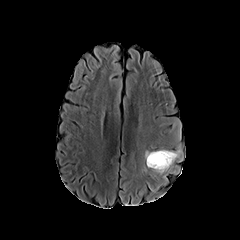
FLAIR MR image.
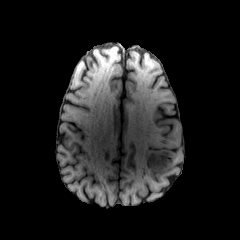
T1-weighted MR of the same slice.
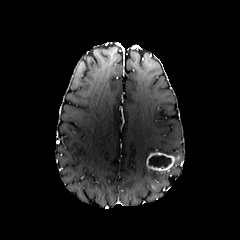
Post-contrast T1-weighted magnetic resonance.
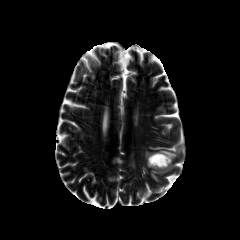
T2-weighted MR.
Brain.
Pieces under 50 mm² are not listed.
The 2 largest peritumoral edema regions appear at left=169, top=117, right=181, bottom=141; left=144, top=143, right=184, bottom=192. The necrotic tumor core is bounded by left=148, top=155, right=171, bottom=167. The enhancing tumor is at left=146, top=152, right=174, bottom=172.